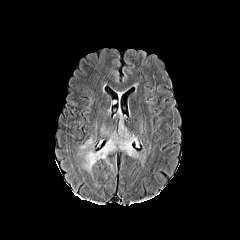
FLAIR MR.
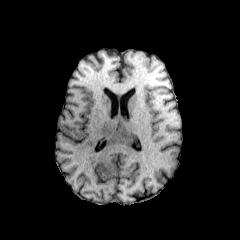
T1-weighted magnetic resonance of the same slice.
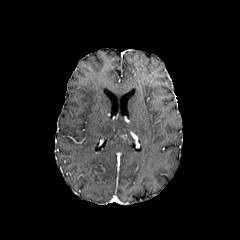
Post-contrast T1-weighted magnetic resonance.
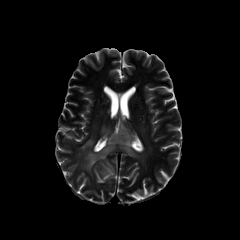
T2-weighted magnetic resonance.
Axial slice
peritumoral edema: <bbox>80, 123, 138, 171</bbox>